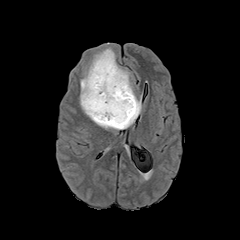
FLAIR MR image.
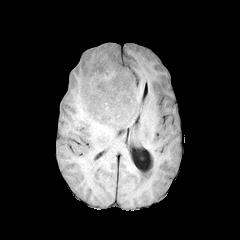
T1-weighted magnetic resonance.
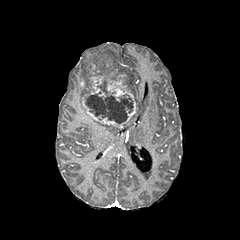
Post-contrast T1-weighted MRI.
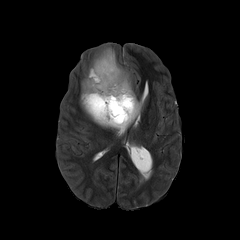
T2-weighted MR of the same slice.
Brain
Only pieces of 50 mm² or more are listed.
peritumoral edema: x1=80, y1=47, x2=141, y2=129
enhancing tumor: x1=84, y1=60, x2=136, y2=128
necrotic tumor core: x1=97, y1=81, x2=109, y2=95; x1=85, y1=91, x2=133, y2=124